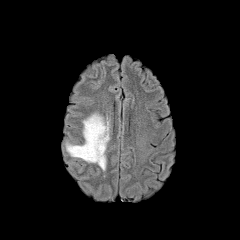
FLAIR MR.
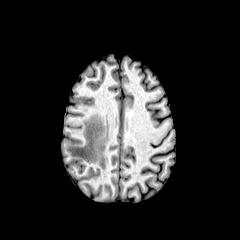
T1-weighted MR image of the same slice.
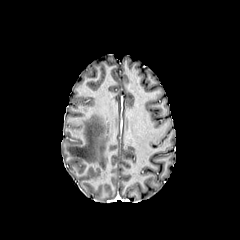
Post-contrast T1-weighted MR image.
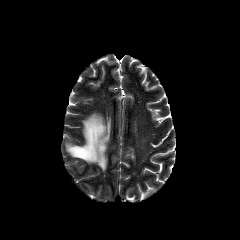
T2-weighted MR.
Head
peritumoral edema: bounding box 66:113:109:170